FLAIR MR image.
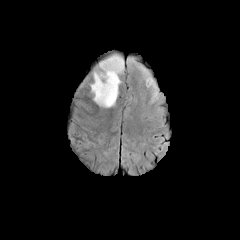
T1-weighted MRI.
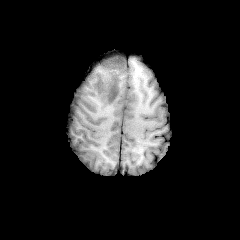
Post-contrast T1-weighted magnetic resonance.
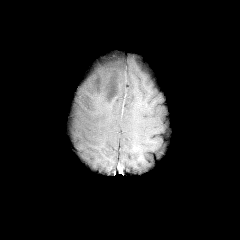
T2-weighted MRI.
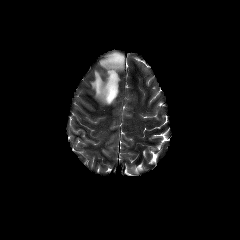
Axial plane; Head
The peritumoral edema is at 91:52:124:108.